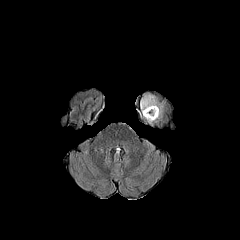
FLAIR MR image.
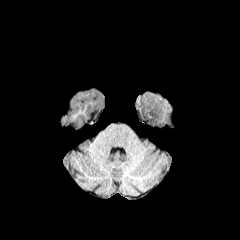
Same slice, T1-weighted magnetic resonance.
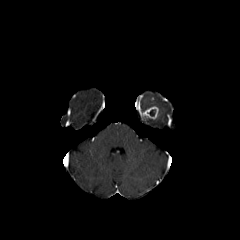
Post-contrast T1-weighted MR.
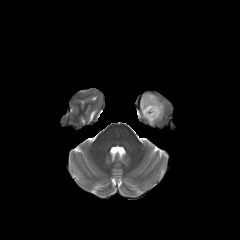
Same slice, T2-weighted MRI.
Head, Axial plane
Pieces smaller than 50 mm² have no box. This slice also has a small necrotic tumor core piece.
The enhancing tumor is at [140,106,158,119]. The peritumoral edema is located at [140,93,164,124].